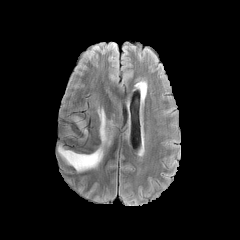
FLAIR magnetic resonance.
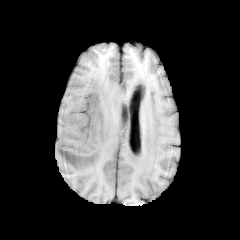
T1-weighted magnetic resonance.
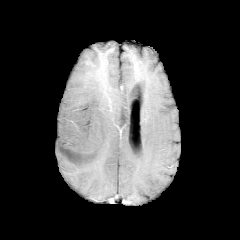
Post-contrast T1-weighted magnetic resonance of the same slice.
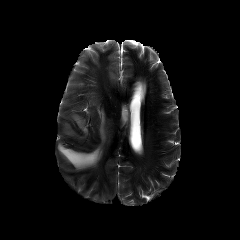
T2-weighted MRI of the same slice.
Head
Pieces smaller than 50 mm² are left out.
<segmentation>
  <peritumoral_edema>57:107:109:171, 73:116:87:134</peritumoral_edema>
</segmentation>